FLAIR magnetic resonance.
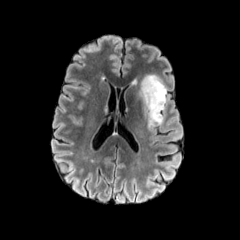
T1-weighted MR image.
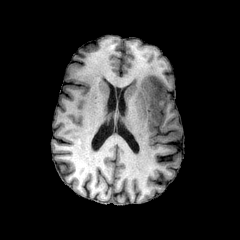
Post-contrast T1-weighted magnetic resonance.
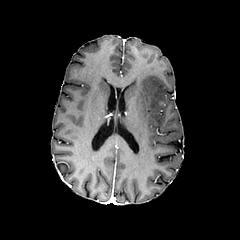
T2-weighted MR.
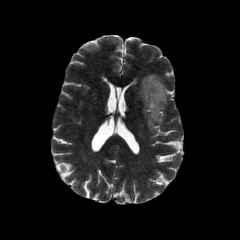
Axial view
peritumoral edema: bounding box [139, 74, 166, 131]